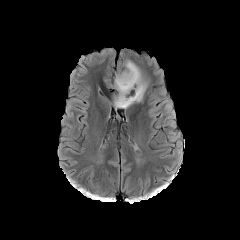
FLAIR MR.
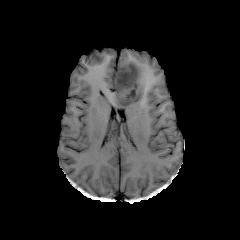
T1-weighted magnetic resonance of the same slice.
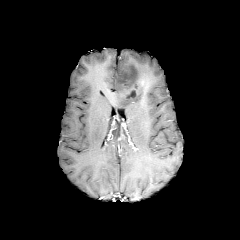
Post-contrast T1-weighted MRI.
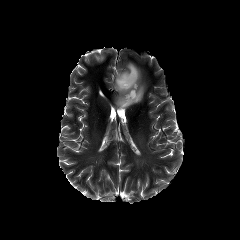
T2-weighted MR image of the same slice.
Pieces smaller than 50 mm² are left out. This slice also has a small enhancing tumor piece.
peritumoral edema — bbox(114, 61, 147, 108)
necrotic tumor core — bbox(118, 68, 136, 87)